Axial slice. Head.
FLAIR MRI.
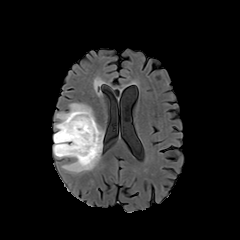
T1-weighted magnetic resonance.
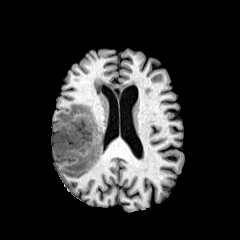
Post-contrast T1-weighted magnetic resonance.
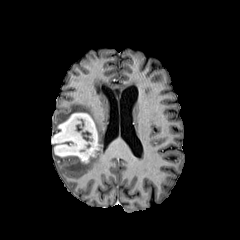
T2-weighted MR.
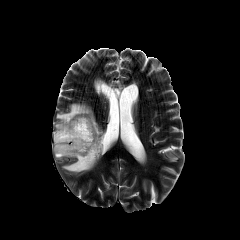
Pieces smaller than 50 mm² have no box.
<segmentation>
  <peritumoral_edema>{"x1": 54, "y1": 103, "x2": 104, "y2": 173}</peritumoral_edema>
  <necrotic_tumor_core>{"x1": 82, "y1": 131, "x2": 92, "y2": 141}</necrotic_tumor_core>
  <enhancing_tumor>{"x1": 53, "y1": 113, "x2": 99, "y2": 163}</enhancing_tumor>
</segmentation>